Axial slice. Image width 240 mm, 1.00 mm slice spacing. Brain. Slice index 77.
FLAIR magnetic resonance.
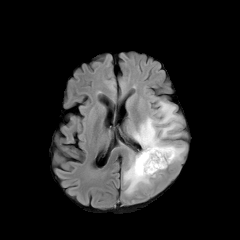
T1-weighted MR image.
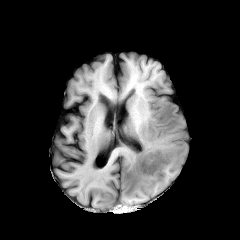
Post-contrast T1-weighted MR image.
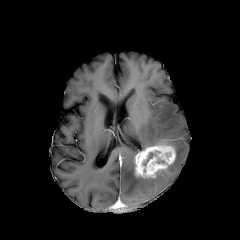
T2-weighted magnetic resonance.
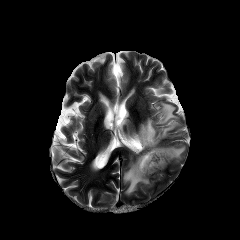
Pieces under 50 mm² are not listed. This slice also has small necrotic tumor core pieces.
enhancing tumor: (135,144,175,178) | peritumoral edema: (132,101,180,149), (170,145,185,161), (123,154,150,195)